Axial view. Brain. Slice 108/155.
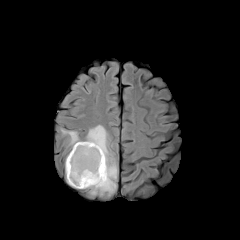
FLAIR MR.
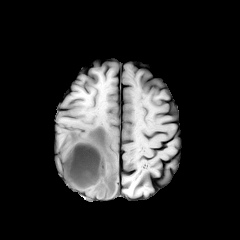
T1-weighted MRI.
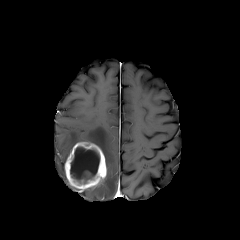
Post-contrast T1-weighted MR image of the same slice.
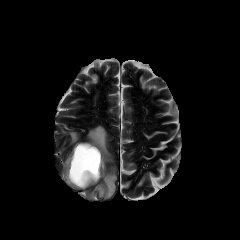
T2-weighted MR of the same slice.
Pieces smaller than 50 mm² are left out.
peritumoral_edema:
  - box=[61, 125, 117, 196]
necrotic_tumor_core:
  - box=[70, 147, 99, 184]
enhancing_tumor:
  - box=[65, 142, 106, 190]